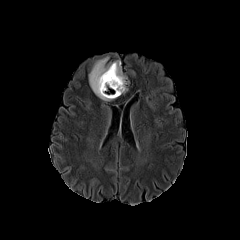
FLAIR magnetic resonance.
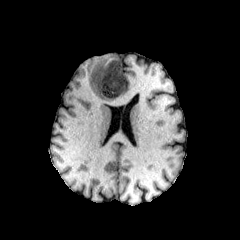
T1-weighted magnetic resonance.
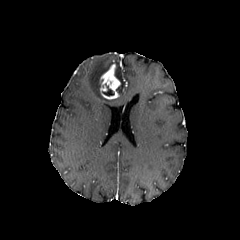
Same slice, post-contrast T1-weighted MR image.
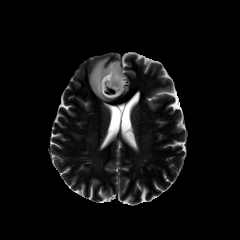
Same slice, T2-weighted MR.
Axial slice. Brain.
<segmentation>
  <peritumoral_edema>left=89, top=57, right=127, bottom=101</peritumoral_edema>
  <necrotic_tumor_core>left=102, top=84, right=114, bottom=96</necrotic_tumor_core>
  <enhancing_tumor>left=100, top=63, right=120, bottom=99</enhancing_tumor>
</segmentation>